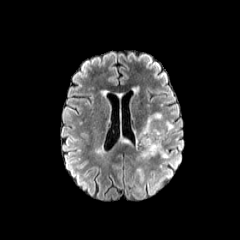
FLAIR MR image.
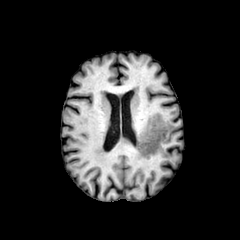
T1-weighted MRI of the same slice.
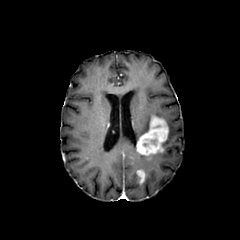
Post-contrast T1-weighted MR image.
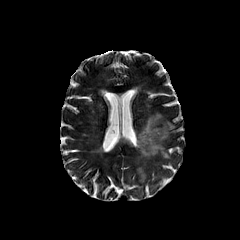
T2-weighted magnetic resonance of the same slice.
Image size 240x240. Axial view. Brain.
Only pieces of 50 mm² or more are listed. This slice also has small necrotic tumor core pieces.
The 3 largest peritumoral edema regions are located at 165 121 174 132, 157 151 170 159, 135 116 151 144. 2 enhancing tumor regions are bounded by 137 169 144 183, 136 116 168 156.